FLAIR MRI.
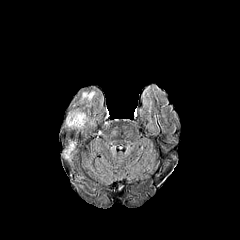
T1-weighted MRI.
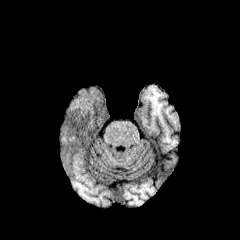
Post-contrast T1-weighted MR image.
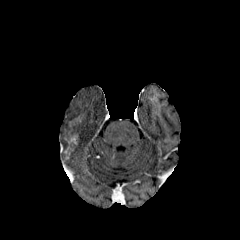
T2-weighted MRI.
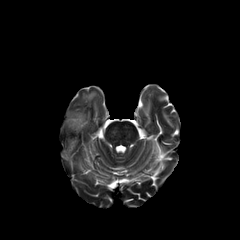
Head; Axial view
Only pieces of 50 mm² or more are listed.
enhancing tumor: [64,136,76,158]
peritumoral edema: [67,112,85,127], [82,92,93,100]